Axial plane, Image width 240 mm
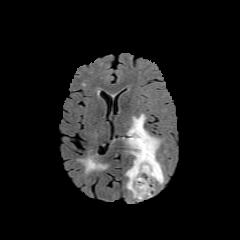
FLAIR MR.
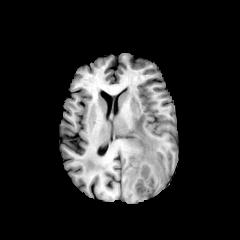
Same slice, T1-weighted magnetic resonance.
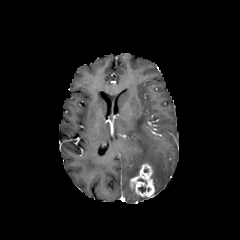
Post-contrast T1-weighted MR image.
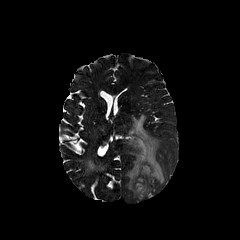
T2-weighted MR image.
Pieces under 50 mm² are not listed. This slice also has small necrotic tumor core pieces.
peritumoral edema: bounding box box=[125, 114, 164, 200]
enhancing tumor: bounding box box=[130, 163, 154, 197]